FLAIR MR image.
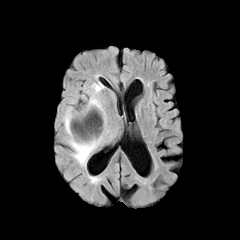
T1-weighted magnetic resonance.
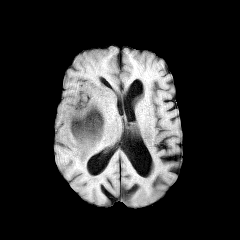
Post-contrast T1-weighted MR image.
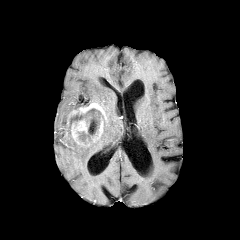
T2-weighted MR image.
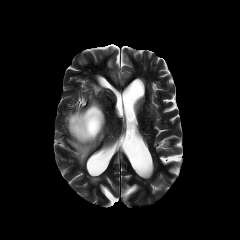
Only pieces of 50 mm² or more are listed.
peritumoral_edema:
  - 84 83 103 107
  - 63 106 108 165
enhancing_tumor:
  - 71 116 91 145
  - 67 102 105 142
necrotic_tumor_core:
  - 69 108 101 141